Slice 90/155; Brain
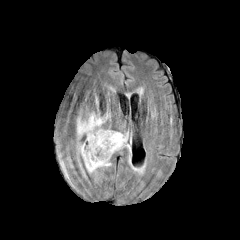
FLAIR MR.
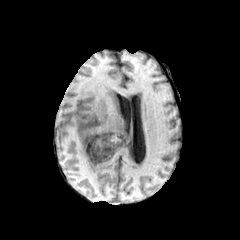
T1-weighted MRI.
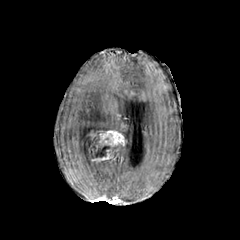
Post-contrast T1-weighted MR.
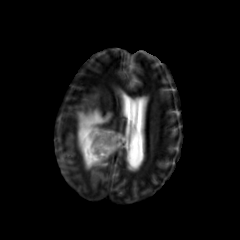
T2-weighted MR image of the same slice.
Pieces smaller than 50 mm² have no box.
necrotic tumor core: bounding box region(87, 145, 110, 157)
peritumoral edema: bounding box region(114, 134, 130, 160); region(77, 110, 110, 172)
enhancing tumor: bounding box region(91, 130, 126, 162)